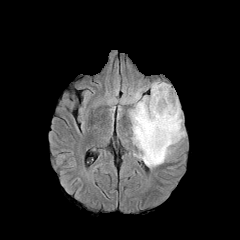
FLAIR magnetic resonance.
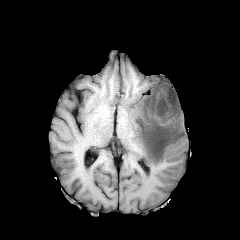
T1-weighted MRI of the same slice.
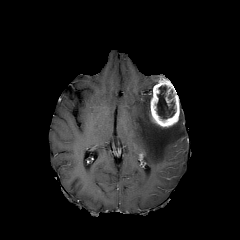
Post-contrast T1-weighted MR image of the same slice.
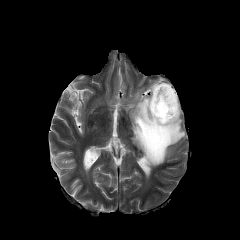
T2-weighted MR image.
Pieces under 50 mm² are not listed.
{"enhancing_tumor": ["150,78,179,127"], "peritumoral_edema": ["129,81,185,167"], "necrotic_tumor_core": ["157,86,174,118"]}